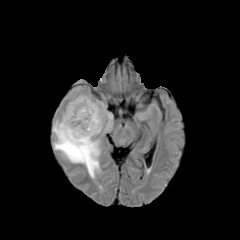
FLAIR MR.
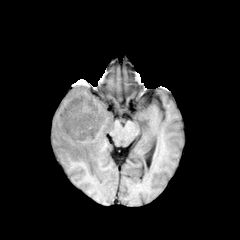
T1-weighted MRI.
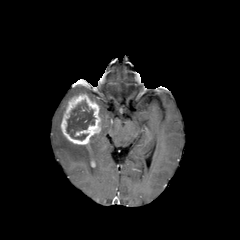
Post-contrast T1-weighted MRI of the same slice.
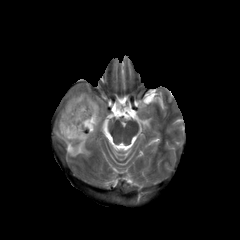
T2-weighted MRI.
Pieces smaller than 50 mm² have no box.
enhancing_tumor:
  - region(60, 93, 101, 145)
peritumoral_edema:
  - region(53, 111, 100, 178)
  - region(95, 100, 112, 132)
necrotic_tumor_core:
  - region(66, 101, 95, 140)